Brain. Slice 105/155.
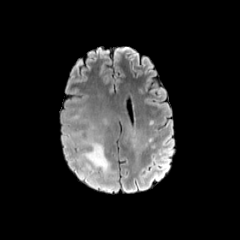
FLAIR magnetic resonance.
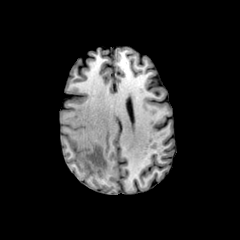
T1-weighted MRI.
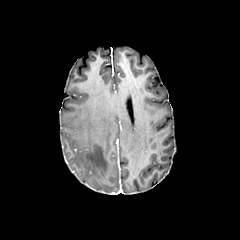
Same slice, post-contrast T1-weighted MR image.
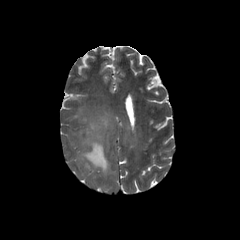
T2-weighted MR image.
The peritumoral edema is bounded by x1=72, y1=124, x2=114, y2=184.